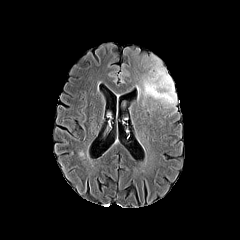
FLAIR MR image.
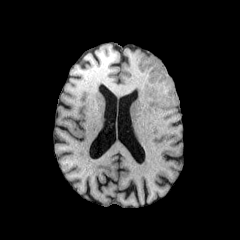
Same slice, T1-weighted MR image.
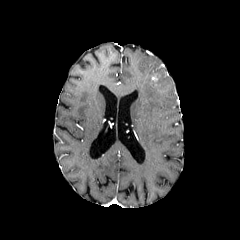
Post-contrast T1-weighted MRI.
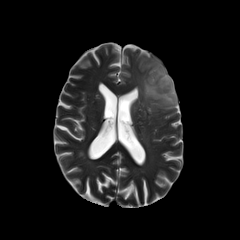
T2-weighted MR image of the same slice.
Head, 240x240 px
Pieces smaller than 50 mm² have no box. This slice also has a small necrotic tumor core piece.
{"peritumoral_edema": ["x1=141 y1=55 x2=177 y2=109"], "enhancing_tumor": ["x1=151 y1=73 x2=160 y2=83"]}